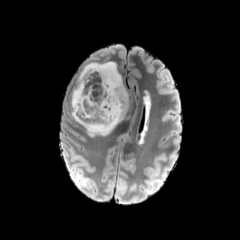
FLAIR MRI.
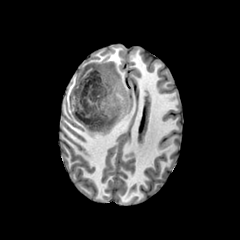
T1-weighted magnetic resonance.
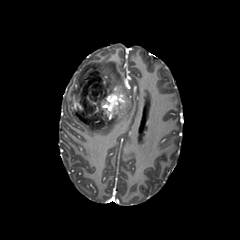
Post-contrast T1-weighted MRI.
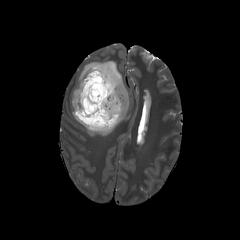
T2-weighted MR image.
Brain
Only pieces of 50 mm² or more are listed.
necrotic tumor core: (left=76, top=72, right=107, bottom=124) | peritumoral edema: (left=72, top=61, right=129, bottom=136) | enhancing tumor: (left=72, top=71, right=127, bottom=125)